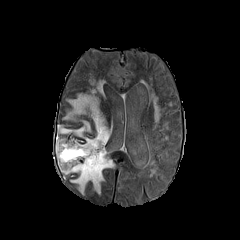
FLAIR MR image.
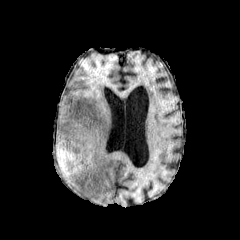
T1-weighted MRI.
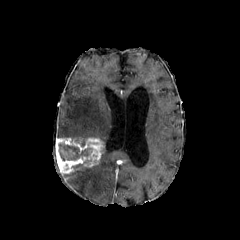
Post-contrast T1-weighted MR.
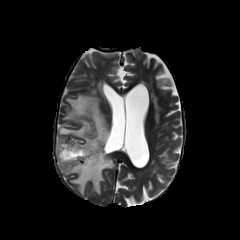
T2-weighted MR.
Axial slice.
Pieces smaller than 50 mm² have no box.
Annotated regions:
* peritumoral edema: bbox=[64, 94, 109, 146]; bbox=[71, 152, 114, 193]; bbox=[58, 120, 91, 137]
* necrotic tumor core: bbox=[59, 143, 91, 160]
* enhancing tumor: bbox=[55, 137, 104, 173]